Image covers 240 mm x 240 mm; Brain; Axial plane
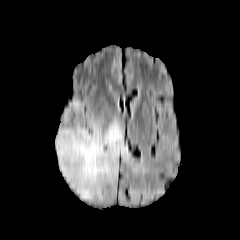
FLAIR MR.
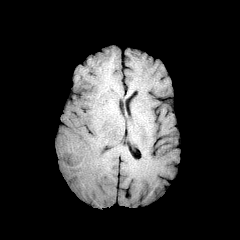
Same slice, T1-weighted MRI.
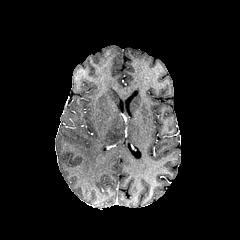
Post-contrast T1-weighted MR image.
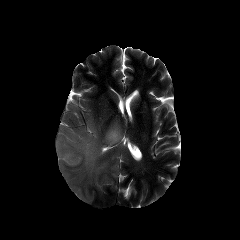
Same slice, T2-weighted MR image.
peritumoral edema: rect(55, 99, 129, 200)